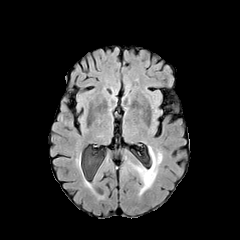
FLAIR magnetic resonance.
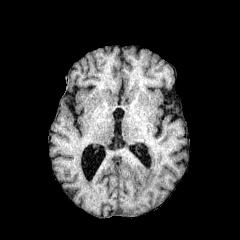
Same slice, T1-weighted magnetic resonance.
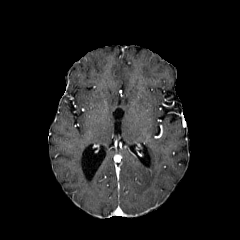
Post-contrast T1-weighted MR of the same slice.
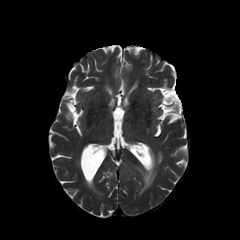
Same slice, T2-weighted MR.
{
  "peritumoral_edema": [
    "(x1=133, y1=148, x2=161, y2=194)"
  ]
}